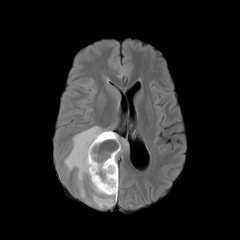
FLAIR MR image.
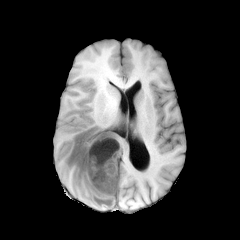
T1-weighted MR image of the same slice.
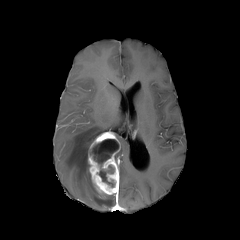
Same slice, post-contrast T1-weighted MR image.
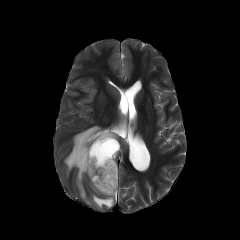
T2-weighted MRI.
Head
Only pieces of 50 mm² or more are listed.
The 2 largest peritumoral edema regions appear at l=64, t=125, r=116, b=208; l=115, t=134, r=128, b=163. The enhancing tumor is at l=88, t=131, r=120, b=196. The 2 largest necrotic tumor core regions are located at l=91, t=139, r=119, b=164; l=99, t=170, r=114, b=187.